Head; Axial plane
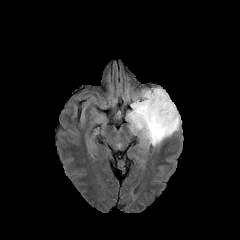
FLAIR MR.
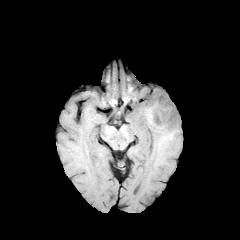
T1-weighted MR image of the same slice.
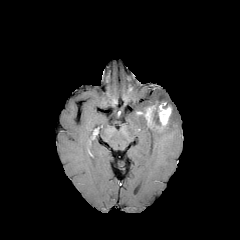
Post-contrast T1-weighted MR.
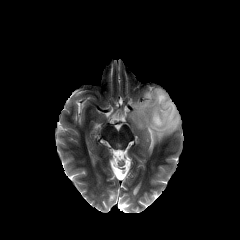
Same slice, T2-weighted MR.
{
  "peritumoral_edema": [
    "(left=153, top=108, right=159, bottom=123)",
    "(left=126, top=87, right=181, bottom=147)"
  ],
  "enhancing_tumor": [
    "(left=136, top=101, right=172, bottom=130)"
  ]
}